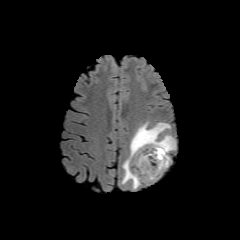
FLAIR MR.
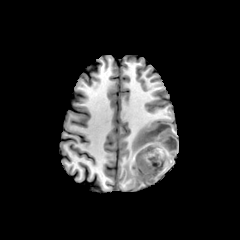
T1-weighted MRI.
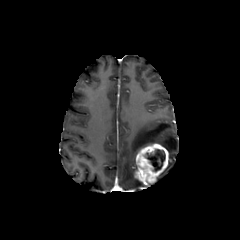
Post-contrast T1-weighted MRI.
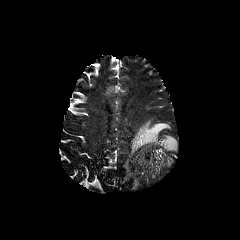
Same slice, T2-weighted magnetic resonance.
Head
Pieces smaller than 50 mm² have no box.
<segmentation>
  <peritumoral_edema>bbox(122, 122, 176, 188)</peritumoral_edema>
  <enhancing_tumor>bbox(132, 142, 169, 184)</enhancing_tumor>
  <necrotic_tumor_core>bbox(146, 149, 165, 171)</necrotic_tumor_core>
</segmentation>